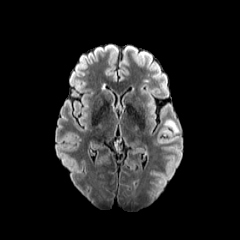
FLAIR magnetic resonance.
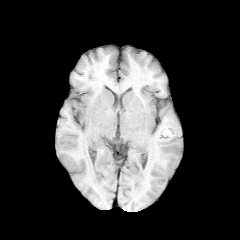
T1-weighted MR.
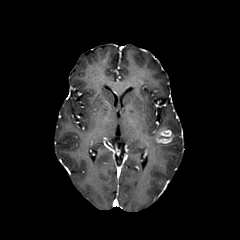
Post-contrast T1-weighted MR.
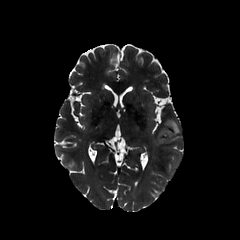
T2-weighted magnetic resonance.
240x240. Axial slice.
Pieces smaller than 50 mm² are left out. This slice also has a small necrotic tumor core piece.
enhancing tumor: 157 129 173 143
peritumoral edema: 160 119 179 140